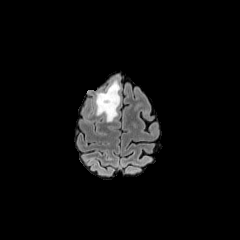
FLAIR MRI.
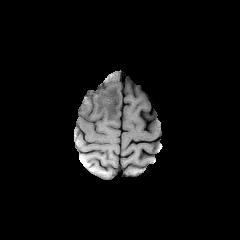
T1-weighted magnetic resonance.
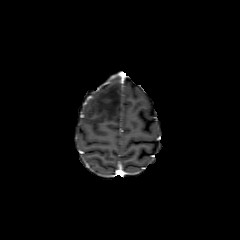
Post-contrast T1-weighted MRI of the same slice.
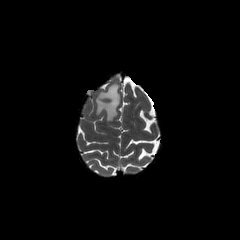
T2-weighted MRI.
Axial slice | Head
peritumoral edema at <box>95,78,120,122</box>